FLAIR MR.
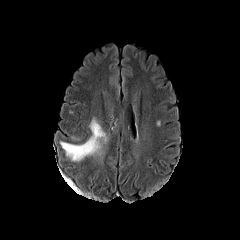
T1-weighted MR image.
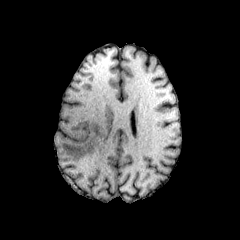
Post-contrast T1-weighted MR image.
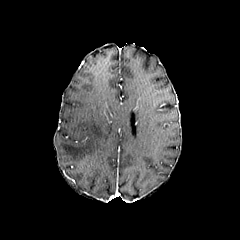
T2-weighted MRI.
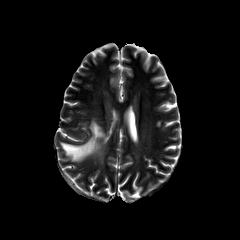
Head
The peritumoral edema appears at 60 118 107 161.